FLAIR MRI.
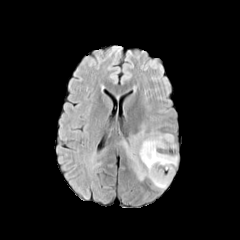
T1-weighted MR.
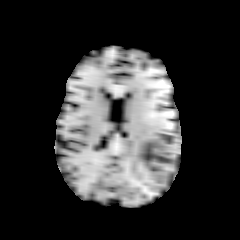
Post-contrast T1-weighted magnetic resonance.
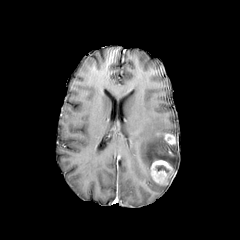
T2-weighted magnetic resonance.
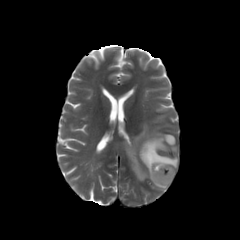
Axial plane.
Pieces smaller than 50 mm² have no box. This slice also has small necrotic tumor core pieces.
enhancing tumor — rect(164, 133, 175, 144); rect(150, 160, 173, 184)
peritumoral edema — rect(124, 124, 177, 189)